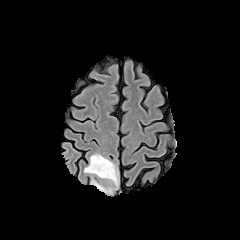
FLAIR magnetic resonance.
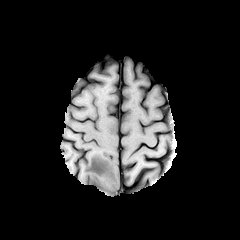
T1-weighted magnetic resonance of the same slice.
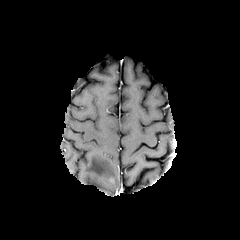
Post-contrast T1-weighted magnetic resonance.
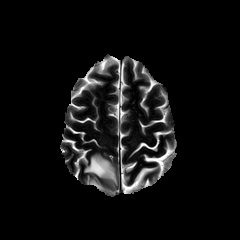
T2-weighted magnetic resonance of the same slice.
Brain | Image size 240x240
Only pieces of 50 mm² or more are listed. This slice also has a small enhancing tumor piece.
<segmentation>
  <peritumoral_edema>[84, 153, 117, 191]</peritumoral_edema>
</segmentation>